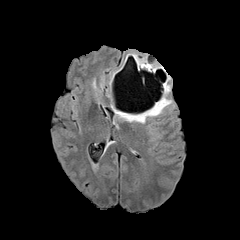
FLAIR MR.
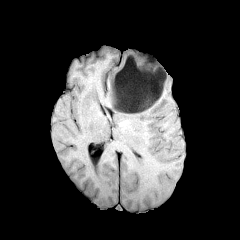
T1-weighted magnetic resonance.
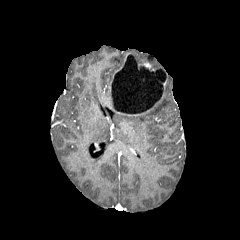
Same slice, post-contrast T1-weighted MR image.
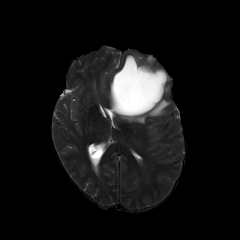
T2-weighted magnetic resonance.
240x240
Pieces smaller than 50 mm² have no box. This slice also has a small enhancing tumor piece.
necrotic tumor core = 112:55:167:114
peritumoral edema = 119:97:171:123